Image covers 240 mm x 240 mm. Head. Axial slice. Image size 240x240.
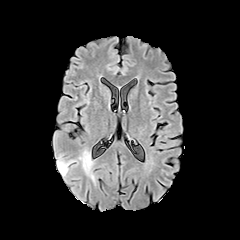
FLAIR MR image.
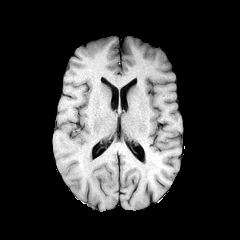
T1-weighted MR image.
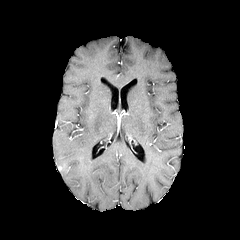
Same slice, post-contrast T1-weighted MR.
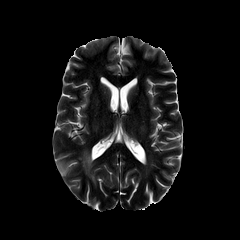
T2-weighted MR.
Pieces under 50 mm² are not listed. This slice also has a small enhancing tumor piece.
peritumoral_edema:
  - 57, 158, 75, 176
  - 79, 151, 95, 183